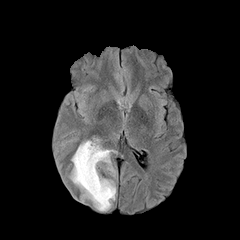
FLAIR MRI.
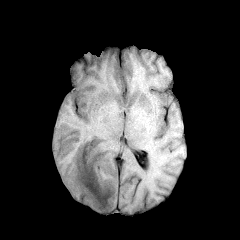
T1-weighted MRI.
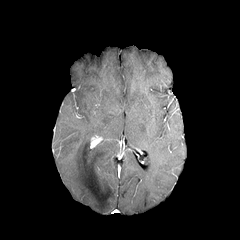
Post-contrast T1-weighted MRI.
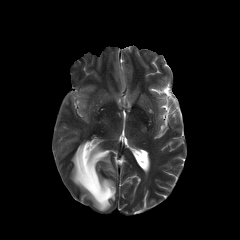
T2-weighted magnetic resonance.
240x240 px
Findings:
• peritumoral edema: 70, 140, 115, 211